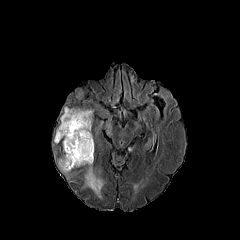
FLAIR magnetic resonance.
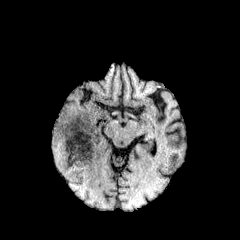
T1-weighted MRI.
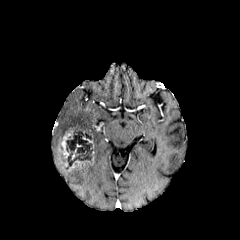
Post-contrast T1-weighted MR image.
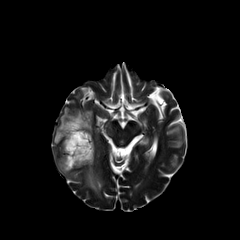
T2-weighted MR image.
Brain.
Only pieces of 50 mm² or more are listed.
{"peritumoral_edema": ["bbox=[84, 161, 103, 198]", "bbox=[58, 155, 69, 173]", "bbox=[54, 107, 92, 143]"], "enhancing_tumor": ["bbox=[62, 126, 78, 158]", "bbox=[68, 160, 90, 170]"], "necrotic_tumor_core": ["bbox=[66, 129, 92, 167]"]}